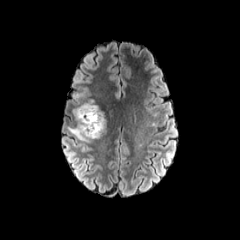
FLAIR MR.
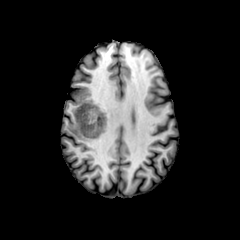
T1-weighted MR image of the same slice.
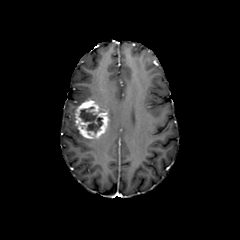
Post-contrast T1-weighted MR image.
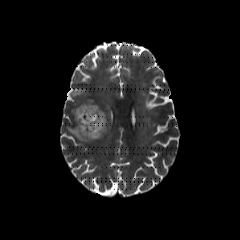
T2-weighted magnetic resonance.
Image size 240x240. Brain.
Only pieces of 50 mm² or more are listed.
{
  "peritumoral_edema": [
    "x1=67, y1=126, x2=95, y2=142"
  ],
  "enhancing_tumor": [
    "x1=75, y1=99, x2=107, y2=138"
  ],
  "necrotic_tumor_core": [
    "x1=79, y1=107, x2=102, y2=133"
  ]
}